Axial view; Image size 240x240
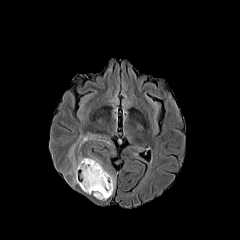
FLAIR magnetic resonance.
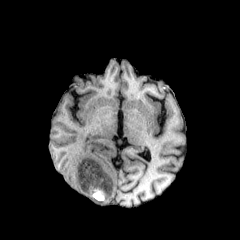
T1-weighted MR image.
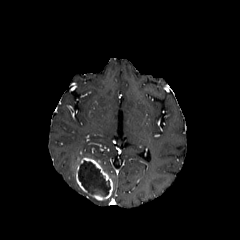
Post-contrast T1-weighted magnetic resonance.
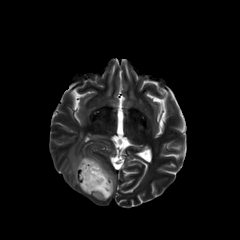
Same slice, T2-weighted MR image.
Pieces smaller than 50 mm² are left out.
Findings:
• peritumoral edema: 68 132 114 186, 86 152 103 165, 109 174 116 193
• necrotic tumor core: 78 161 110 196
• enhancing tumor: 75 157 113 200